Image width 240 mm, 1.00 mm slice spacing; Head; Axial slice; Slice index 64
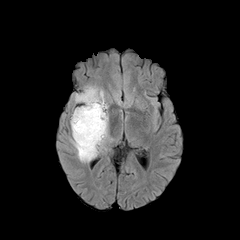
FLAIR magnetic resonance.
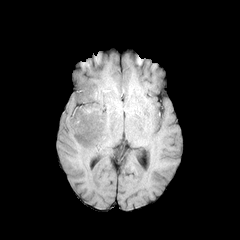
T1-weighted MRI.
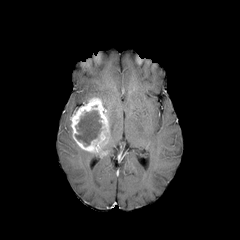
Post-contrast T1-weighted MRI of the same slice.
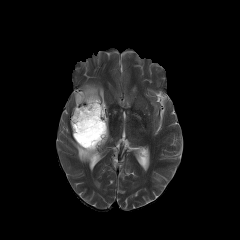
T2-weighted MR of the same slice.
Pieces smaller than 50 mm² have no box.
{
  "necrotic_tumor_core": [
    "x1=75, y1=111, x2=101, y2=145"
  ],
  "enhancing_tumor": [
    "x1=70, y1=97, x2=109, y2=153"
  ],
  "peritumoral_edema": [
    "x1=70, y1=139, x2=94, y2=162",
    "x1=75, y1=85, x2=107, y2=108"
  ]
}